Axial plane; 240x240; Brain
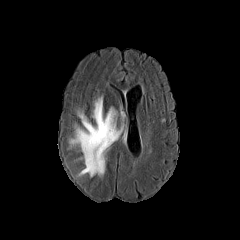
FLAIR MRI.
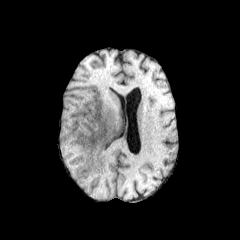
T1-weighted MR of the same slice.
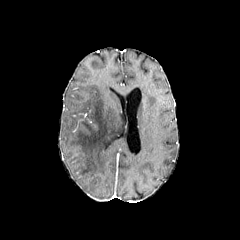
Post-contrast T1-weighted magnetic resonance.
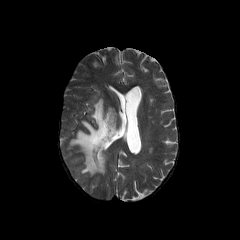
T2-weighted magnetic resonance.
<segmentation>
  <peritumoral_edema>[x1=70, y1=95, x2=123, y2=176]</peritumoral_edema>
</segmentation>